FLAIR magnetic resonance.
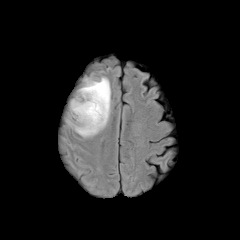
T1-weighted MRI.
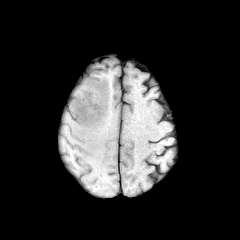
Post-contrast T1-weighted MR.
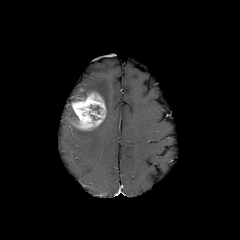
T2-weighted MR.
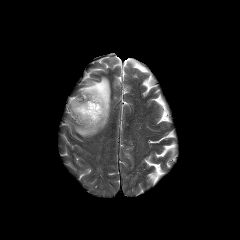
Brain. 240x240.
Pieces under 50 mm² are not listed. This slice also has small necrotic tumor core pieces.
peritumoral_edema:
  - (67, 77, 110, 137)
enhancing_tumor:
  - (71, 91, 106, 130)